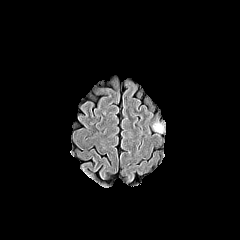
FLAIR magnetic resonance.
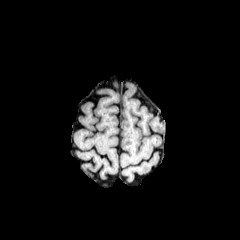
T1-weighted MR image.
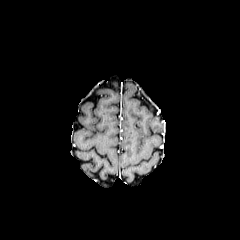
Same slice, post-contrast T1-weighted MRI.
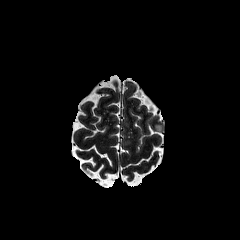
T2-weighted magnetic resonance of the same slice.
The peritumoral edema lies within [154,124,163,132].